Slice 93 of 155, Brain, Axial view
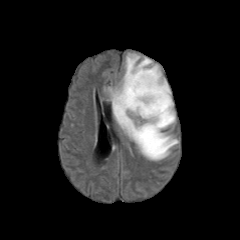
FLAIR MR.
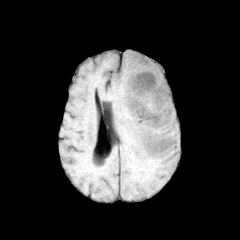
Same slice, T1-weighted MR image.
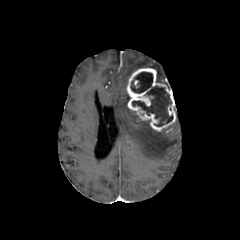
Post-contrast T1-weighted magnetic resonance.
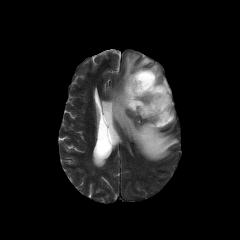
Same slice, T2-weighted MR.
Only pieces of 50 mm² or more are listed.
enhancing_tumor:
  - [x1=126, y1=68, x2=176, y2=131]
peritumoral_edema:
  - [x1=108, y1=53, x2=178, y2=160]
necrotic_tumor_core:
  - [x1=131, y1=72, x2=172, y2=126]